Axial plane, 240x240 px, Head
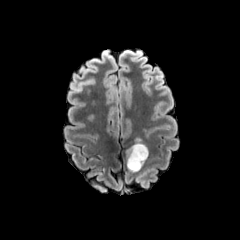
FLAIR MR image.
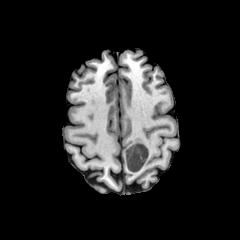
Same slice, T1-weighted magnetic resonance.
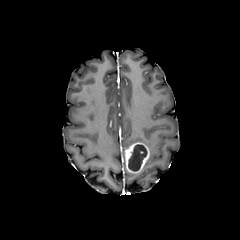
Post-contrast T1-weighted MR image.
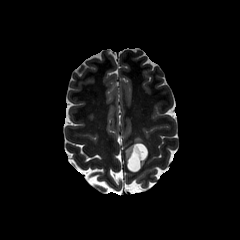
T2-weighted MR image of the same slice.
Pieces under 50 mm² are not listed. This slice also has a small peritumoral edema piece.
• necrotic tumor core: [128, 144, 147, 171]
• enhancing tumor: [125, 142, 149, 173]